FLAIR MRI.
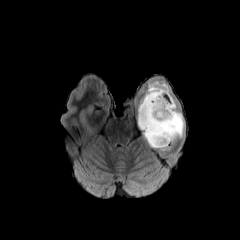
T1-weighted MR.
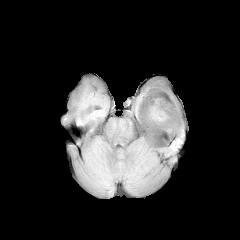
Post-contrast T1-weighted MR.
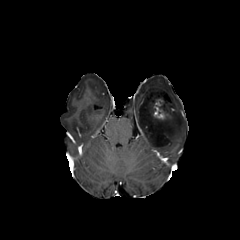
T2-weighted MR image.
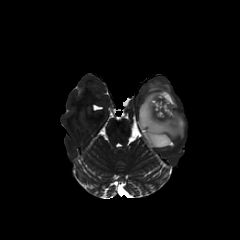
Brain. 240x240 px.
The enhancing tumor is at bbox=[146, 96, 172, 122]. The peritumoral edema is located at bbox=[138, 83, 184, 150].